FLAIR MR.
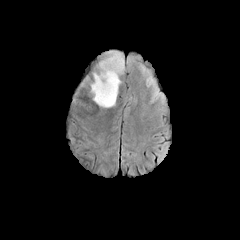
T1-weighted MRI.
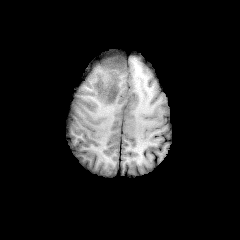
Post-contrast T1-weighted MR image.
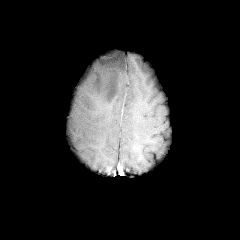
T2-weighted MR image.
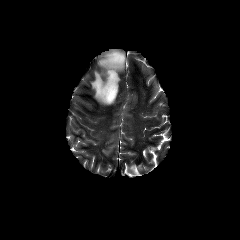
Axial view
Segmented structures:
* peritumoral edema: bbox(91, 51, 124, 106)